Brain. Slice 83/155. Axial slice.
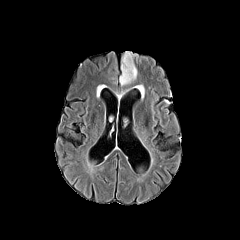
FLAIR MRI.
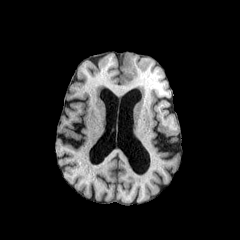
T1-weighted magnetic resonance.
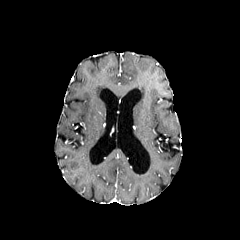
Same slice, post-contrast T1-weighted MR.
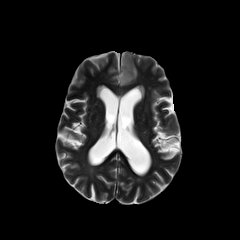
T2-weighted MRI.
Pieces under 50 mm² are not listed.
<segmentation>
  <peritumoral_edema>l=135, t=85, r=144, b=98; l=119, t=51, r=137, b=85</peritumoral_edema>
</segmentation>